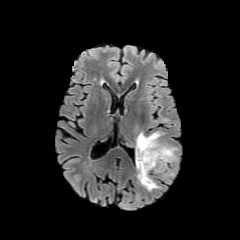
FLAIR MR image.
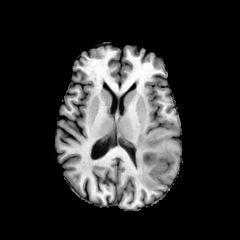
Same slice, T1-weighted magnetic resonance.
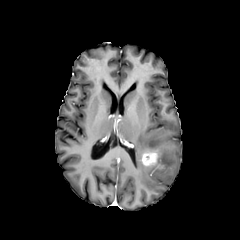
Post-contrast T1-weighted MR image.
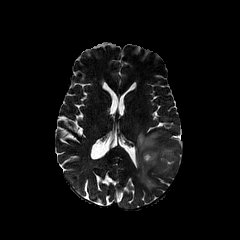
T2-weighted MR image of the same slice.
Axial plane.
The peritumoral edema is located at box(136, 132, 175, 190). The enhancing tumor is located at box(142, 151, 159, 166).